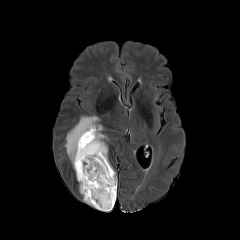
FLAIR MRI.
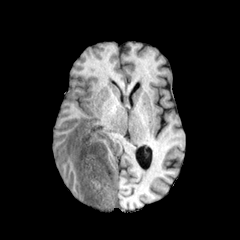
T1-weighted MR image.
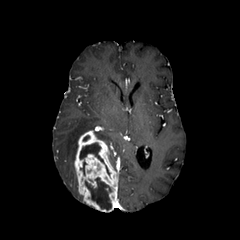
Post-contrast T1-weighted MRI of the same slice.
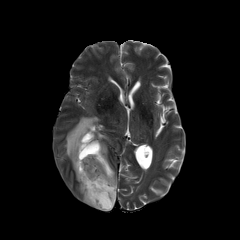
T2-weighted magnetic resonance of the same slice.
Axial view, Image size 240x240
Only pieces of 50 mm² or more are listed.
peritumoral_edema:
  - x1=94, y1=131, x2=108, y2=140
  - x1=64, y1=116, x2=99, y2=169
enhancing_tumor:
  - x1=74, y1=130, x2=117, y2=211
necrotic_tumor_core:
  - x1=85, y1=177, x2=111, y2=210
  - x1=79, y1=143, x2=103, y2=162